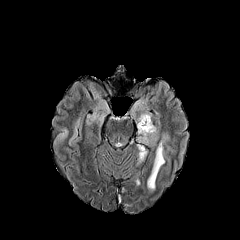
FLAIR magnetic resonance.
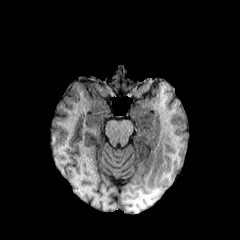
T1-weighted magnetic resonance.
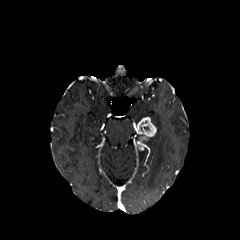
Post-contrast T1-weighted MRI of the same slice.
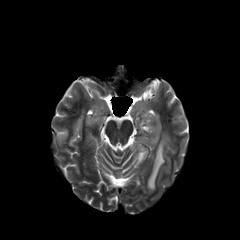
T2-weighted MR image.
Image size 240x240; Axial plane
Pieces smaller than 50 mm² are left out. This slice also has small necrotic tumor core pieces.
Findings:
* peritumoral edema: <box>147,134,168,189</box>, <box>138,112,151,121</box>, <box>139,150,146,161</box>
* enhancing tumor: <box>136,116,156,150</box>